Image covers 240 mm x 240 mm; Axial view
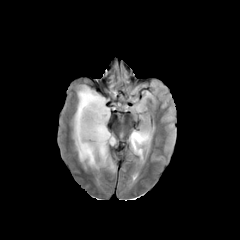
FLAIR MR image.
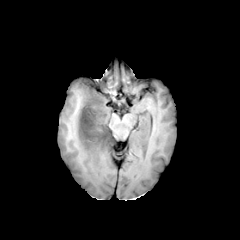
T1-weighted MR.
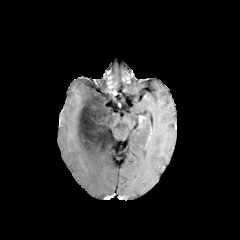
Post-contrast T1-weighted MR image.
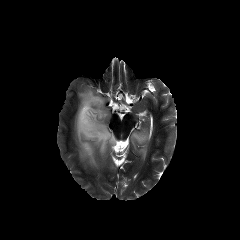
T2-weighted MRI.
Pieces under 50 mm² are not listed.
The necrotic tumor core lies within {"x1": 78, "y1": 94, "x2": 112, "y2": 147}. The 2 largest peritumoral edema regions are located at {"x1": 74, "y1": 86, "x2": 114, "y2": 168}, {"x1": 129, "y1": 130, "x2": 150, "y2": 156}.